240x240 px. Slice index 81. Axial slice. Brain.
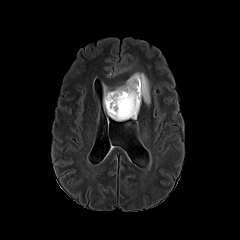
FLAIR MRI.
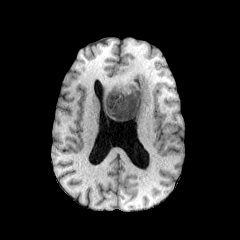
T1-weighted MR.
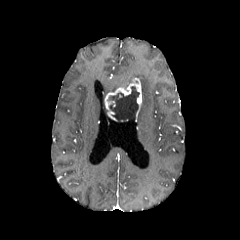
Post-contrast T1-weighted MR of the same slice.
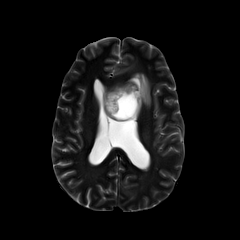
Same slice, T2-weighted MRI.
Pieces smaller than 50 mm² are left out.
<segmentation>
  <enhancing_tumor>region(104, 78, 141, 121)</enhancing_tumor>
  <necrotic_tumor_core>region(108, 86, 139, 121)</necrotic_tumor_core>
  <peritumoral_edema>region(103, 85, 113, 99); region(126, 73, 150, 105)</peritumoral_edema>
</segmentation>